FLAIR magnetic resonance.
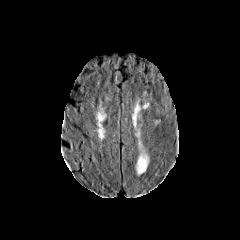
T1-weighted MR.
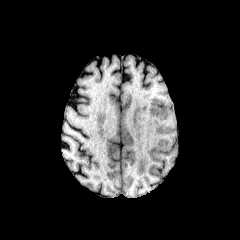
Post-contrast T1-weighted MRI.
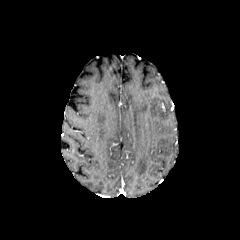
T2-weighted MR image.
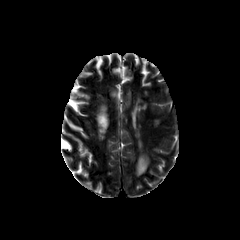
Axial plane; Brain
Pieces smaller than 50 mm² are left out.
<segmentation>
  <peritumoral_edema>(left=132, top=103, right=140, bottom=125), (left=136, top=152, right=149, bottom=174)</peritumoral_edema>
</segmentation>